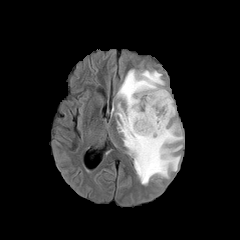
FLAIR MRI.
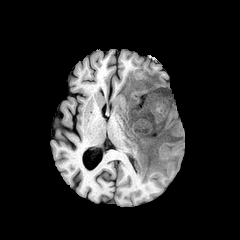
T1-weighted MR image.
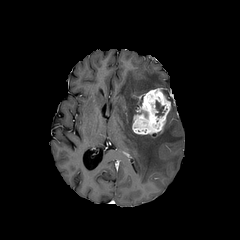
Post-contrast T1-weighted MR.
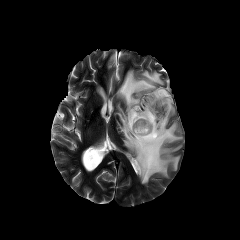
T2-weighted magnetic resonance of the same slice.
Brain
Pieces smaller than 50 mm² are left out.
peritumoral edema at [115, 69, 183, 184]
necrotic tumor core at [156, 101, 163, 116]
enhancing tumor at [132, 88, 171, 136]